Image width 240 mm, 1.00 mm slice spacing; Axial plane; Head
FLAIR MRI.
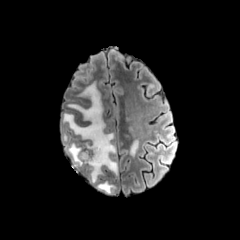
T1-weighted MR image.
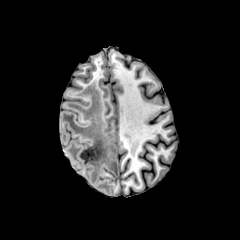
Post-contrast T1-weighted MRI.
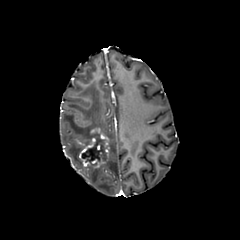
T2-weighted MR.
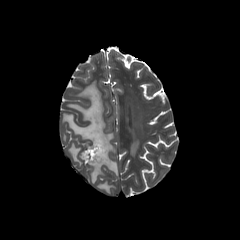
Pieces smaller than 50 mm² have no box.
enhancing tumor: bounding box box(79, 128, 109, 167)
peritumoral edema: bounding box box(96, 181, 115, 194); box(63, 82, 118, 183); box(130, 140, 138, 157)
necrotic tumor core: bounding box box(81, 132, 105, 162)